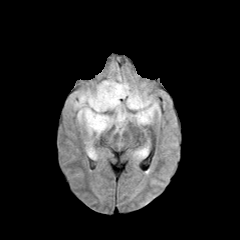
FLAIR MR.
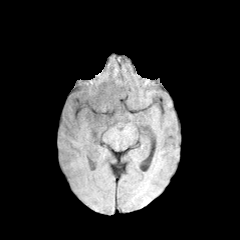
T1-weighted magnetic resonance.
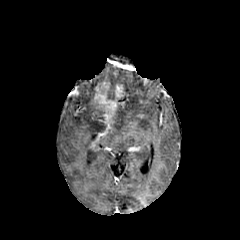
Post-contrast T1-weighted magnetic resonance.
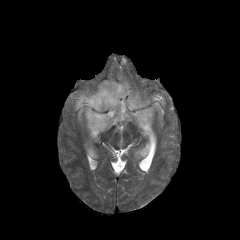
T2-weighted MR image of the same slice.
Image size 240x240
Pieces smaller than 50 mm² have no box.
peritumoral edema: [86,142,96,159], [135,148,146,158], [104,68,159,133], [71,88,111,137] | necrotic tumor core: [107,85,114,99] | enhancing tumor: [91,81,125,126]